Head
FLAIR MR image.
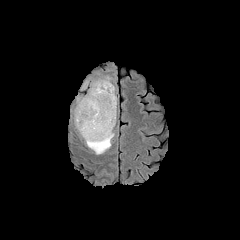
T1-weighted MR image.
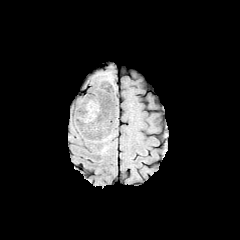
Post-contrast T1-weighted magnetic resonance.
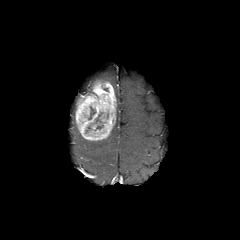
T2-weighted MR.
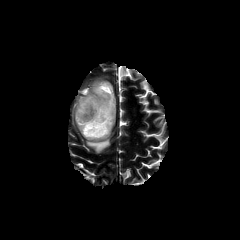
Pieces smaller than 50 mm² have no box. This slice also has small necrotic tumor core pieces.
The enhancing tumor is at box(75, 81, 116, 140). The 2 largest peritumoral edema regions are bounded by box(88, 77, 110, 92); box(85, 96, 117, 154).